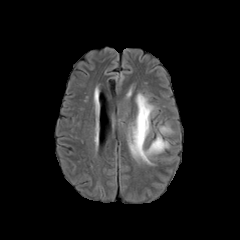
FLAIR MR image.
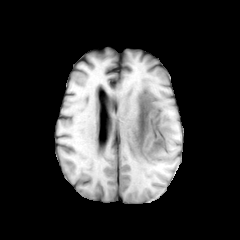
T1-weighted MR image.
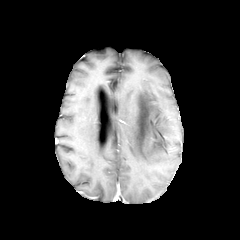
Post-contrast T1-weighted MR.
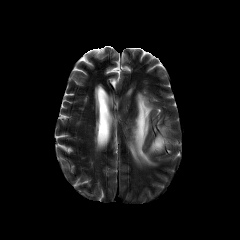
Same slice, T2-weighted MRI.
Brain, Axial plane
Segmented structures:
* peritumoral edema: box=[128, 93, 168, 164]; box=[160, 126, 171, 134]